FLAIR MR.
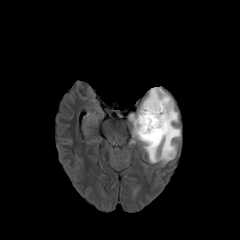
T1-weighted magnetic resonance.
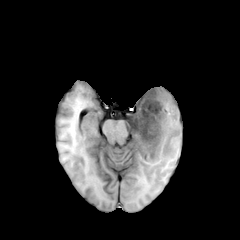
Post-contrast T1-weighted MR.
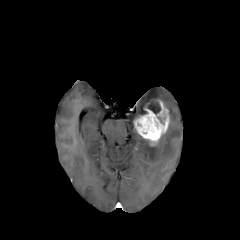
T2-weighted MR.
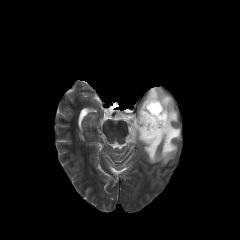
Axial view; Head
The peritumoral edema is bounded by [129, 87, 180, 164]. The necrotic tumor core appears at [147, 101, 160, 113]. The enhancing tumor is bounded by [133, 99, 170, 146].